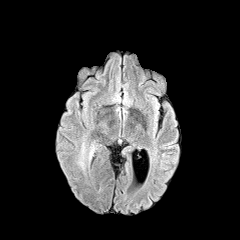
FLAIR magnetic resonance.
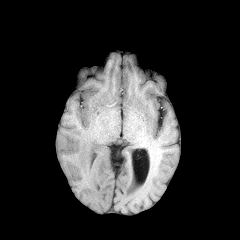
T1-weighted MR of the same slice.
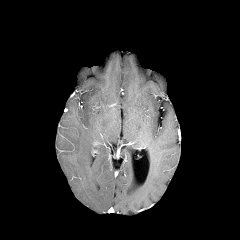
Post-contrast T1-weighted MRI.
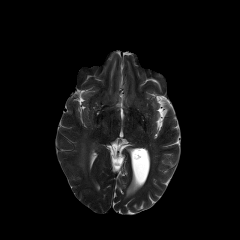
T2-weighted MRI of the same slice.
peritumoral edema: region(78, 140, 97, 170)